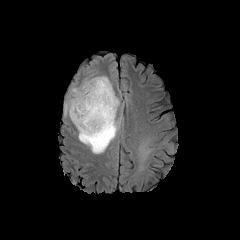
FLAIR MR.
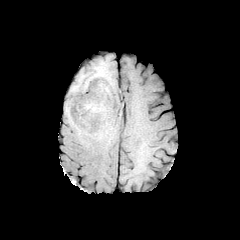
T1-weighted MR image.
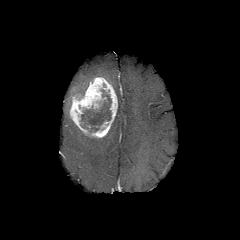
Post-contrast T1-weighted MRI.
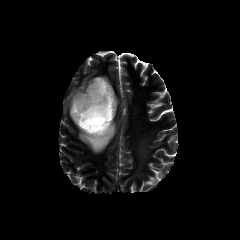
Same slice, T2-weighted MR image.
Head
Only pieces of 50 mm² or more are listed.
<segmentation>
  <peritumoral_edema><bbox>75, 99, 120, 153</bbox>, <bbox>65, 78, 93, 112</bbox>, <bbox>163, 132, 177, 150</bbox></peritumoral_edema>
  <necrotic_tumor_core><bbox>81, 90, 111, 131</bbox></necrotic_tumor_core>
  <enhancing_tumor><bbox>69, 77, 117, 137</bbox></enhancing_tumor>
</segmentation>